Slice 110/155 | Brain | 240x240 px
FLAIR magnetic resonance.
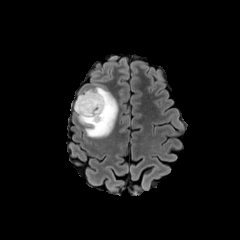
T1-weighted magnetic resonance.
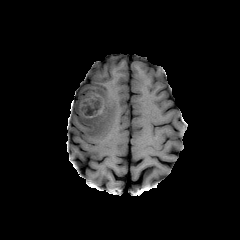
Post-contrast T1-weighted MRI.
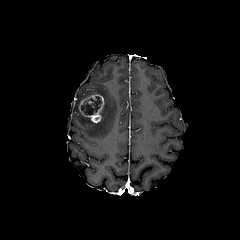
T2-weighted MRI.
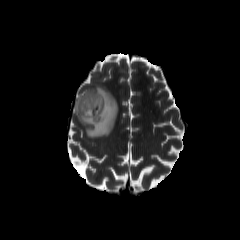
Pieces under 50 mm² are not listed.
The peritumoral edema appears at bbox(74, 86, 118, 137). The largest enhancing tumor region is at bbox(79, 94, 104, 123). The necrotic tumor core is located at bbox(81, 96, 101, 114).